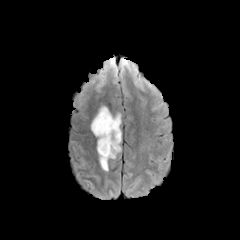
FLAIR MRI.
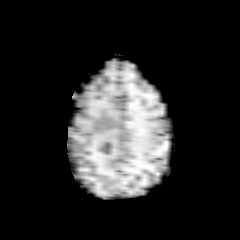
Same slice, T1-weighted MR.
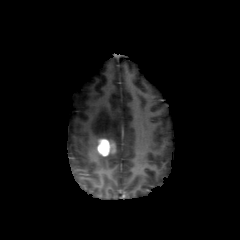
Post-contrast T1-weighted MRI of the same slice.
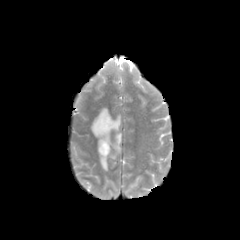
Same slice, T2-weighted magnetic resonance.
Axial slice; 240x240 px
peritumoral edema: x1=91, y1=106, x2=121, y2=170 | enhancing tumor: x1=97, y1=138, x2=115, y2=156